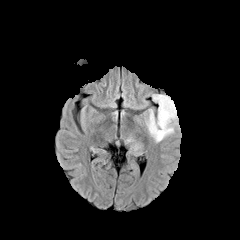
FLAIR MR.
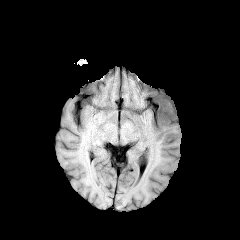
T1-weighted MR image of the same slice.
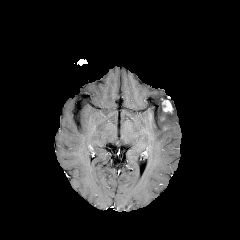
Post-contrast T1-weighted magnetic resonance.
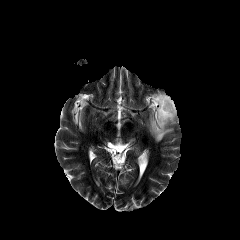
Same slice, T2-weighted magnetic resonance.
Brain. 240x240.
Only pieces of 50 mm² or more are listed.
peritumoral edema: [145, 94, 178, 142]
enhancing tumor: [161, 98, 173, 113]